Slice 116/155. Axial plane. 240x240 px. Brain.
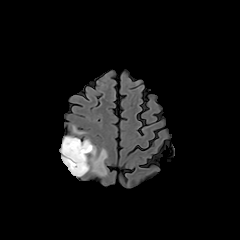
FLAIR MRI.
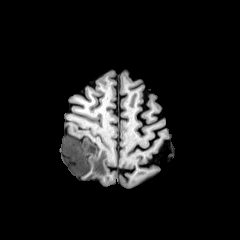
Same slice, T1-weighted magnetic resonance.
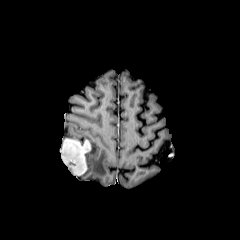
Post-contrast T1-weighted MR image of the same slice.
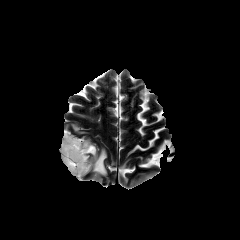
T2-weighted magnetic resonance.
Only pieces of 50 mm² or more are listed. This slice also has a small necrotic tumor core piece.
peritumoral_edema:
  - bbox(61, 136, 83, 148)
  - bbox(68, 139, 107, 176)
enhancing_tumor:
  - bbox(61, 138, 90, 175)